FLAIR MRI.
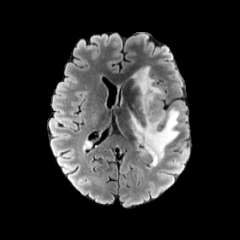
T1-weighted MR.
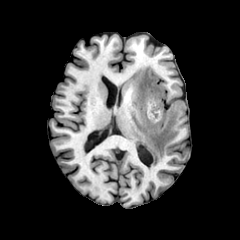
Post-contrast T1-weighted MRI.
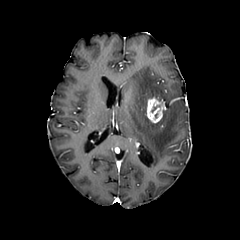
T2-weighted MRI.
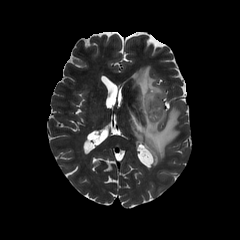
Head; 240x240
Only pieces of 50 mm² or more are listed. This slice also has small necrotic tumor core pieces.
enhancing tumor = 146 97 163 123
peritumoral edema = 130 66 179 166